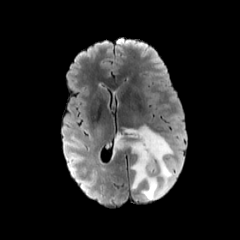
FLAIR magnetic resonance.
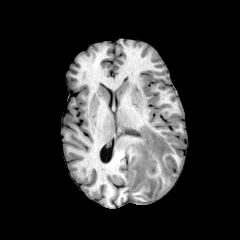
Same slice, T1-weighted MR.
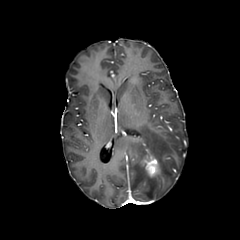
Post-contrast T1-weighted MR image of the same slice.
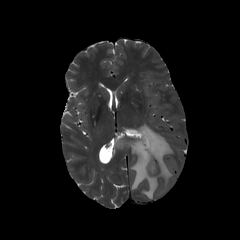
Same slice, T2-weighted magnetic resonance.
Head
enhancing tumor at region(141, 155, 158, 176)
peritumoral edema at region(115, 125, 173, 199)